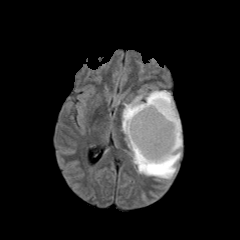
FLAIR MRI.
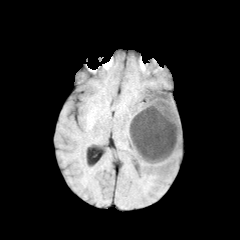
T1-weighted MRI.
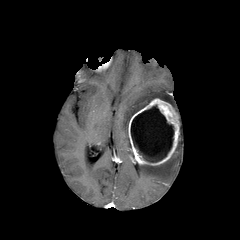
Same slice, post-contrast T1-weighted MR.
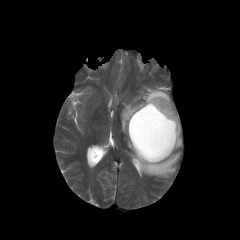
T2-weighted magnetic resonance.
Axial plane | 240x240 px
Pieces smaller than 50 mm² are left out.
{
  "enhancing_tumor": [
    "left=128, top=98, right=179, bottom=165"
  ],
  "necrotic_tumor_core": [
    "left=131, top=105, right=173, bottom=162"
  ],
  "peritumoral_edema": [
    "left=122, top=89, right=174, bottom=149",
    "left=137, top=123, right=182, bottom=178"
  ]
}